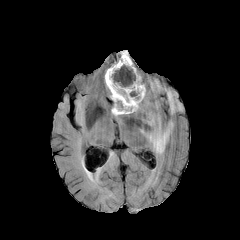
FLAIR MR image.
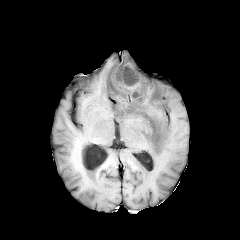
T1-weighted MRI.
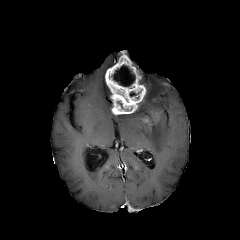
Same slice, post-contrast T1-weighted MRI.
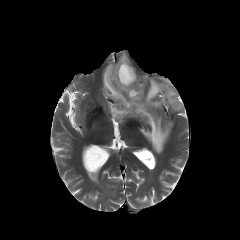
Same slice, T2-weighted MR image.
Head
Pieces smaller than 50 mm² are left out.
- enhancing tumor: [x1=105, y1=50, x2=146, y2=115], [x1=144, y1=113, x2=158, y2=124]
- necrotic tumor core: [x1=112, y1=65, x2=135, y2=86]
- peritumoral edema: [x1=111, y1=111, x2=123, y2=122], [x1=132, y1=79, x2=183, y2=154]